FLAIR magnetic resonance.
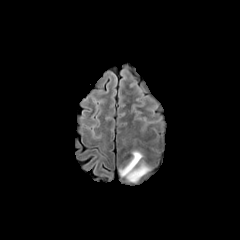
T1-weighted magnetic resonance.
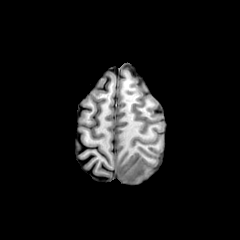
Post-contrast T1-weighted MR image.
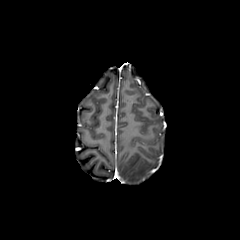
T2-weighted MR.
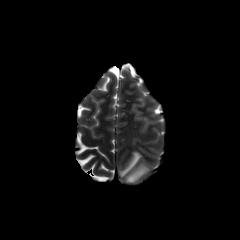
Axial view; Image size 240x240
The peritumoral edema is bounded by [119, 151, 150, 182].